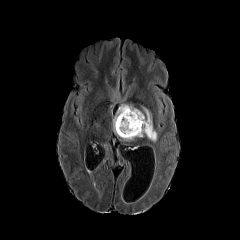
FLAIR MRI.
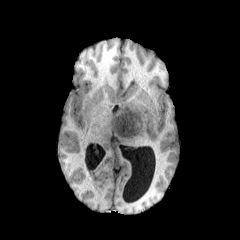
T1-weighted magnetic resonance.
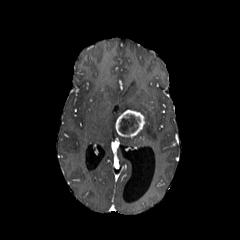
Post-contrast T1-weighted MR.
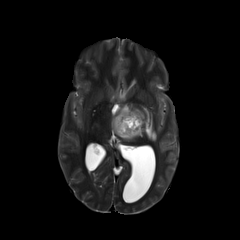
T2-weighted MR image of the same slice.
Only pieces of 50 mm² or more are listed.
{"peritumoral_edema": ["x1=112 y1=104 x2=157 y2=141"], "enhancing_tumor": ["x1=115 y1=110 x2=145 y2=137"], "necrotic_tumor_core": ["x1=119 y1=114 x2=139 y2=134"]}